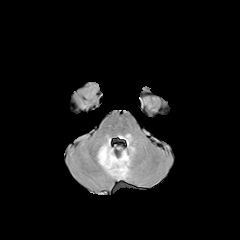
FLAIR MR image.
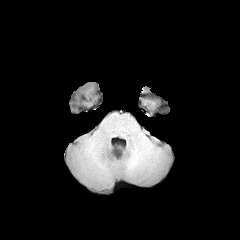
T1-weighted MRI of the same slice.
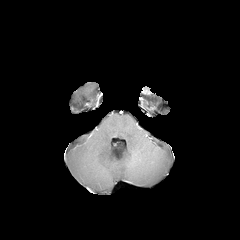
Post-contrast T1-weighted MR image.
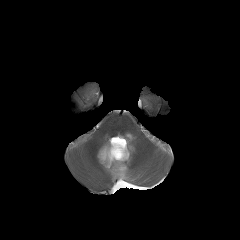
T2-weighted MR.
Axial slice.
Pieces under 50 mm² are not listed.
The largest peritumoral edema region is bounded by 97 134 134 179.